Image width 240 mm, 1.00 mm slice spacing. Axial view. 240x240 px. Brain.
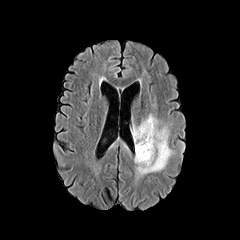
FLAIR MRI.
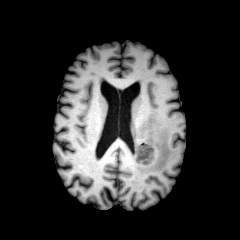
T1-weighted MR image of the same slice.
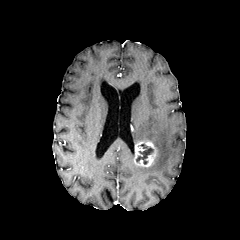
Same slice, post-contrast T1-weighted MR image.
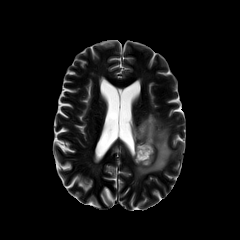
T2-weighted MR.
<segmentation>
  <enhancing_tumor>[x1=134, y1=140, x2=155, y2=167]</enhancing_tumor>
  <necrotic_tumor_core>[x1=136, y1=144, x2=153, y2=164]</necrotic_tumor_core>
  <peritumoral_edema>[x1=132, y1=112, x2=176, y2=179]</peritumoral_edema>
</segmentation>